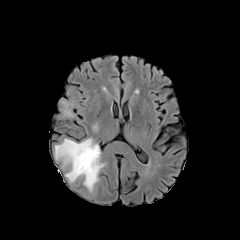
FLAIR MRI.
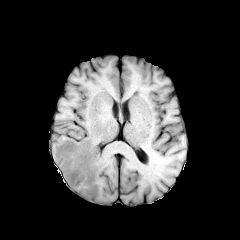
T1-weighted MRI.
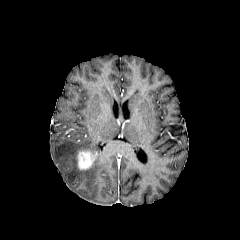
Post-contrast T1-weighted MRI.
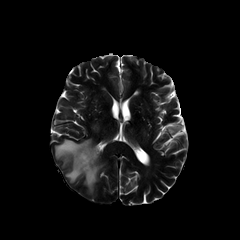
Same slice, T2-weighted MRI.
240x240 | Brain
peritumoral edema: 54, 138, 104, 192 | enhancing tumor: 77, 150, 97, 170